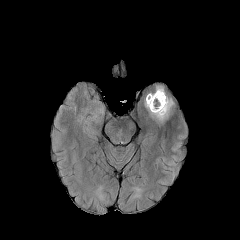
FLAIR MR image.
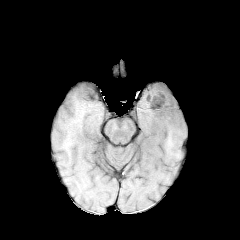
T1-weighted MR image of the same slice.
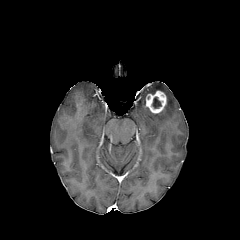
Same slice, post-contrast T1-weighted MRI.
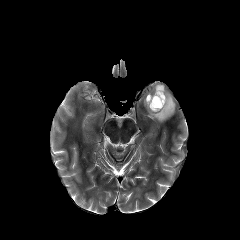
T2-weighted MR of the same slice.
240x240 px
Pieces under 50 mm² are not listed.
{
  "peritumoral_edema": [
    "146, 95, 174, 122",
    "155, 85, 164, 92"
  ],
  "necrotic_tumor_core": [
    "152, 97, 161, 108"
  ],
  "enhancing_tumor": [
    "146, 90, 166, 113"
  ]
}